Head | Slice 95/155 | Axial view
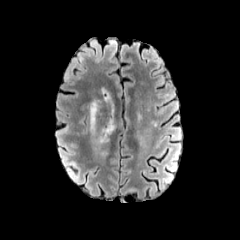
FLAIR MRI.
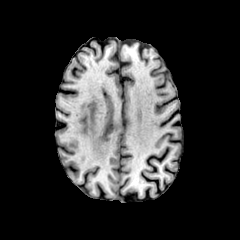
T1-weighted magnetic resonance.
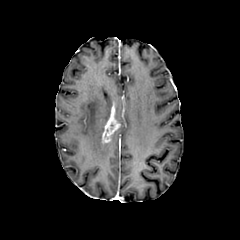
Post-contrast T1-weighted magnetic resonance.
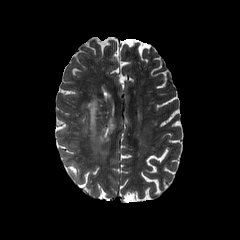
Same slice, T2-weighted MRI.
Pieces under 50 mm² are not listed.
enhancing tumor: box(102, 116, 119, 143) | peritumoral edema: box(90, 99, 98, 135)